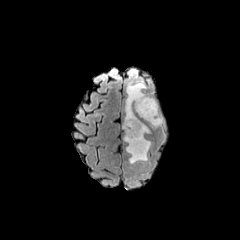
FLAIR MR.
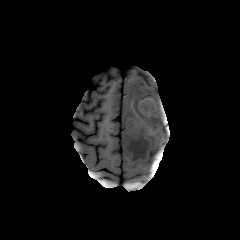
T1-weighted MRI of the same slice.
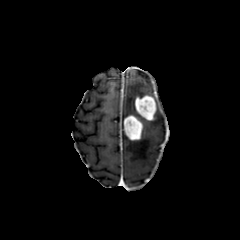
Post-contrast T1-weighted magnetic resonance of the same slice.
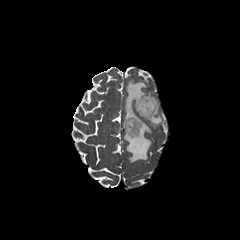
T2-weighted MR.
Head
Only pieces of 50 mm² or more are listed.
The 3 largest peritumoral edema regions are located at (149, 104, 162, 126), (124, 123, 151, 163), (125, 78, 151, 117). 2 enhancing tumor regions are bounded by (124, 115, 142, 140), (135, 95, 156, 120).